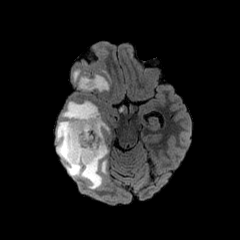
FLAIR magnetic resonance.
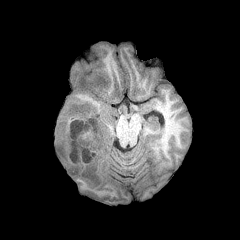
T1-weighted magnetic resonance of the same slice.
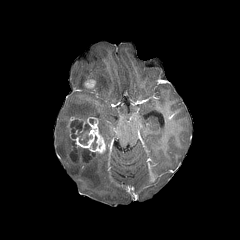
Post-contrast T1-weighted magnetic resonance of the same slice.
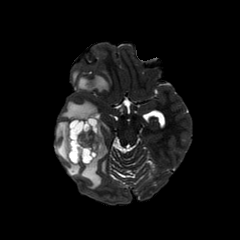
T2-weighted magnetic resonance.
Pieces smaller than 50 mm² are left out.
peritumoral edema: rect(73, 69, 79, 81); rect(56, 101, 109, 189); rect(78, 74, 109, 91); rect(101, 160, 106, 173) | enhancing tumor: rect(83, 79, 96, 89); rect(68, 117, 105, 164) | necrotic tumor core: rect(71, 119, 91, 144); rect(82, 148, 95, 162); rect(70, 146, 78, 161)